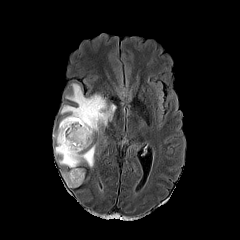
FLAIR MRI.
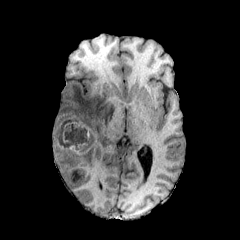
T1-weighted MR of the same slice.
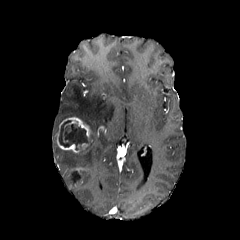
Same slice, post-contrast T1-weighted MRI.
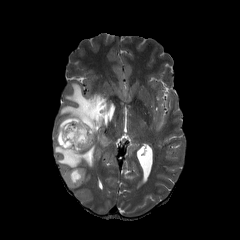
Same slice, T2-weighted magnetic resonance.
Image size 240x240, Brain, Axial view
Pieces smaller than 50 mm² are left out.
necrotic_tumor_core:
  - (59, 120, 91, 150)
  - (72, 171, 81, 179)
enhancing_tumor:
  - (55, 117, 90, 152)
peritumoral_edema:
  - (61, 83, 116, 139)
  - (54, 144, 95, 187)